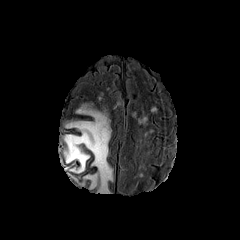
FLAIR MRI.
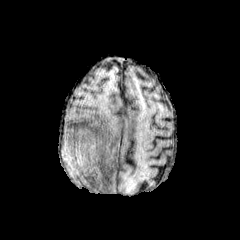
T1-weighted MRI of the same slice.
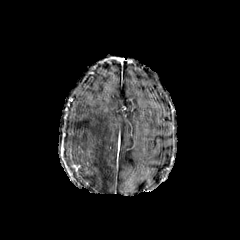
Same slice, post-contrast T1-weighted MR image.
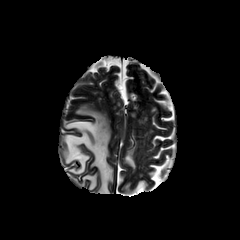
T2-weighted magnetic resonance.
240x240, Brain, Axial slice
2 peritumoral edema regions appear at bbox(64, 109, 112, 192); bbox(83, 174, 97, 187).